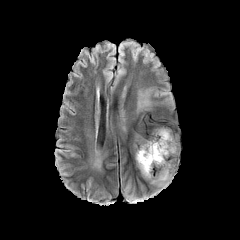
FLAIR magnetic resonance.
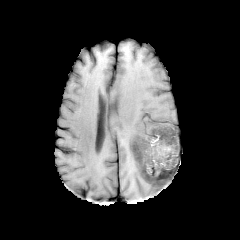
Same slice, T1-weighted MR image.
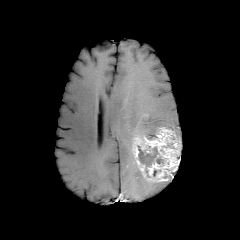
Post-contrast T1-weighted MR.
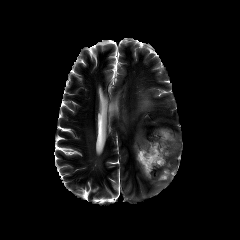
T2-weighted MRI.
Axial view
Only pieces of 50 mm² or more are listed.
enhancing tumor — bbox=[132, 127, 180, 183]
necrotic tumor core — bbox=[138, 146, 158, 166]
peritumoral edema — bbox=[151, 181, 170, 187]